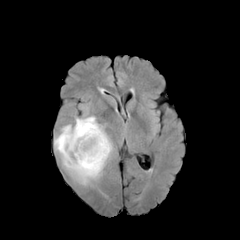
FLAIR MR image.
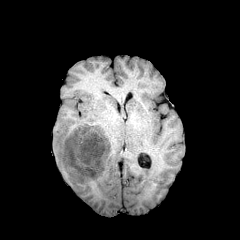
T1-weighted MRI.
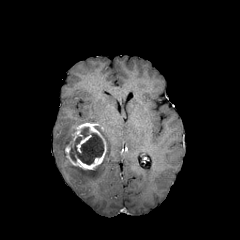
Post-contrast T1-weighted MR.
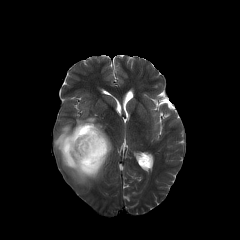
T2-weighted MRI of the same slice.
240x240 px.
The peritumoral edema is bounded by <bbox>54, 116, 112, 185</bbox>. 2 necrotic tumor core regions are located at <bbox>80, 127, 89, 137</bbox>, <bbox>70, 133, 103, 164</bbox>. The enhancing tumor is bounded by <bbox>63, 123, 107, 169</bbox>.